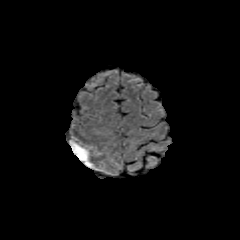
FLAIR MR.
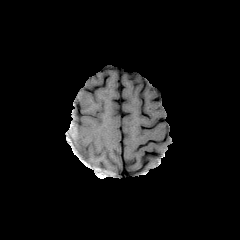
T1-weighted MRI.
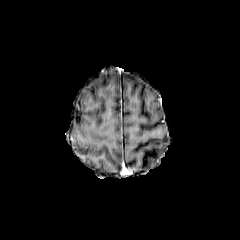
Same slice, post-contrast T1-weighted magnetic resonance.
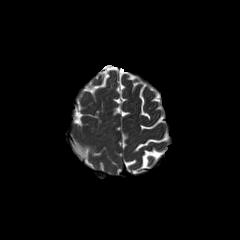
T2-weighted MR image.
Axial plane | Brain
peritumoral edema — [70, 136, 93, 167]